Brain
FLAIR MR image.
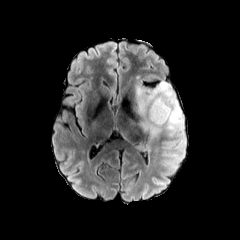
T1-weighted MR.
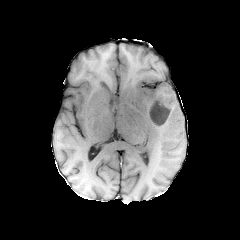
Post-contrast T1-weighted MRI.
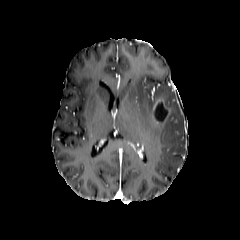
T2-weighted magnetic resonance.
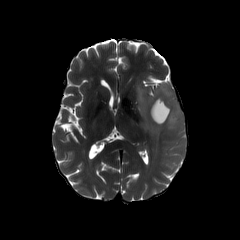
{
  "enhancing_tumor": [
    "bbox=[151, 99, 169, 123]"
  ],
  "peritumoral_edema": [
    "bbox=[133, 81, 183, 151]"
  ],
  "necrotic_tumor_core": [
    "bbox=[154, 102, 167, 122]"
  ]
}